Head; Slice index 53; Axial plane
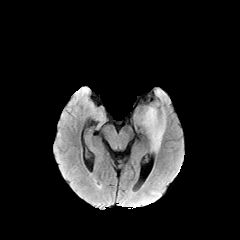
FLAIR MR image.
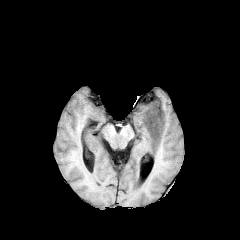
T1-weighted MR of the same slice.
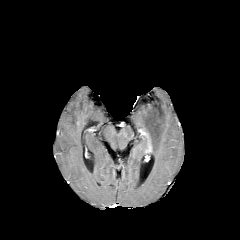
Post-contrast T1-weighted MRI.
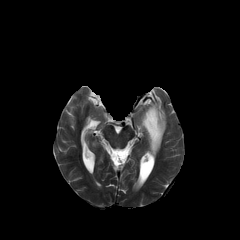
T2-weighted MRI of the same slice.
* peritumoral edema: bbox=[141, 105, 165, 151]